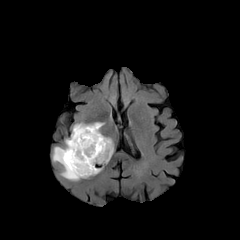
FLAIR MRI.
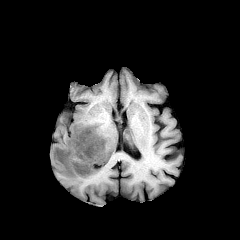
T1-weighted MRI.
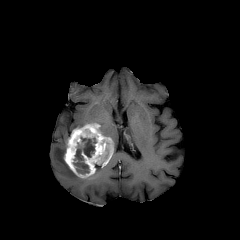
Same slice, post-contrast T1-weighted MR.
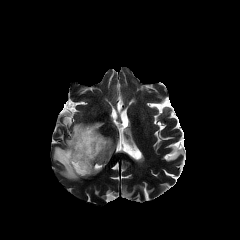
T2-weighted MRI.
240x240 px
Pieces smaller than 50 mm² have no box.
Findings:
* enhancing tumor: 64,123,113,178
* necrotic tumor core: 73,129,98,173
* peritumoral edema: 72,122,86,130; 52,138,81,180